Slice 104 of 155; Head
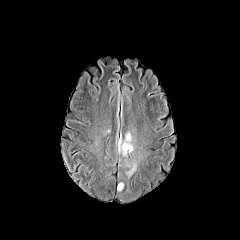
FLAIR MRI.
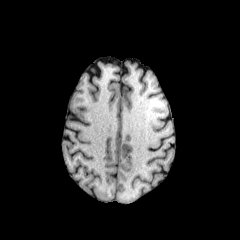
T1-weighted MR image of the same slice.
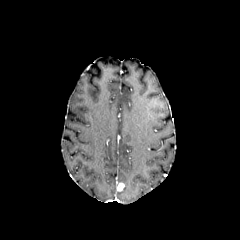
Post-contrast T1-weighted MRI.
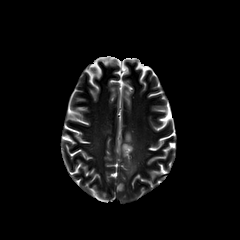
Same slice, T2-weighted magnetic resonance.
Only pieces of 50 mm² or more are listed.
peritumoral_edema:
  - 118, 131, 134, 157
  - 126, 159, 136, 177
enhancing_tumor:
  - 117, 183, 124, 191